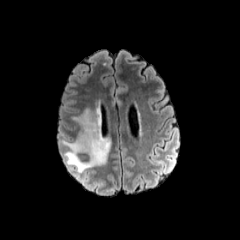
FLAIR MR.
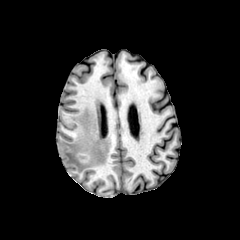
Same slice, T1-weighted MR.
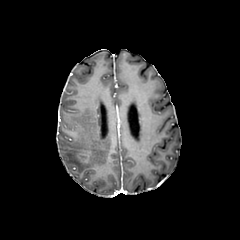
Post-contrast T1-weighted magnetic resonance of the same slice.
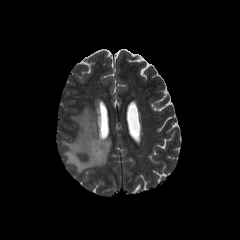
T2-weighted MR image of the same slice.
Head.
The peritumoral edema lies within (left=62, top=99, right=110, bottom=173).